FLAIR MRI.
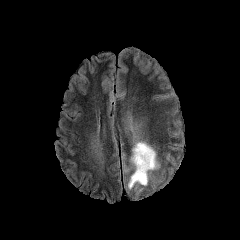
T1-weighted magnetic resonance.
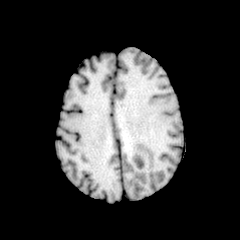
Post-contrast T1-weighted MRI.
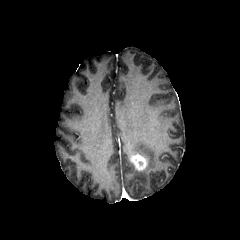
T2-weighted MR.
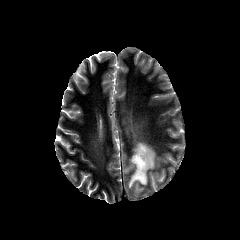
Head
The peritumoral edema is located at [128,142,157,188]. The enhancing tumor is bounded by [130,153,147,171].